FLAIR magnetic resonance.
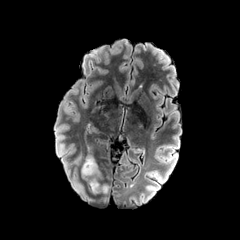
T1-weighted magnetic resonance.
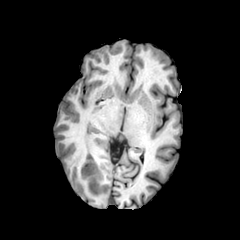
Post-contrast T1-weighted MR.
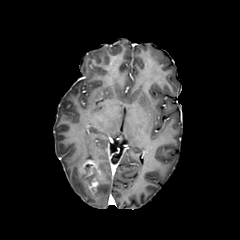
T2-weighted magnetic resonance.
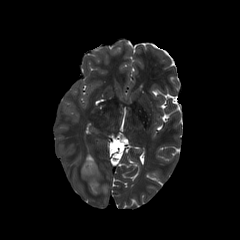
Axial slice
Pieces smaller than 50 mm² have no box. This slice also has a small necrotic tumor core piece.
The largest peritumoral edema region is at <bbox>81, 165, 108, 194</bbox>. 2 enhancing tumor regions appear at <bbox>83, 160, 100, 174</bbox>, <bbox>89, 178, 98, 195</bbox>.